FLAIR MR image.
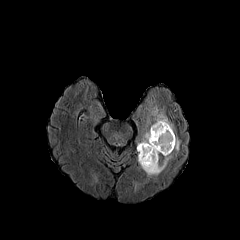
T1-weighted MR.
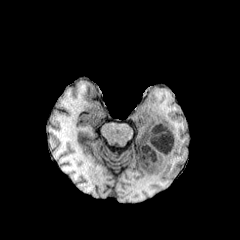
Post-contrast T1-weighted MR image.
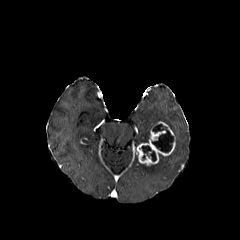
T2-weighted MR.
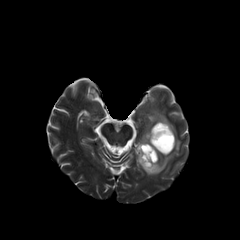
Brain | Axial slice
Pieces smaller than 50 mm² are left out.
{
  "enhancing_tumor": [
    "<box>137,121,175,165</box>"
  ],
  "necrotic_tumor_core": [
    "<box>139,145,156,161</box>",
    "<box>152,124,173,152</box>"
  ],
  "peritumoral_edema": [
    "<box>139,154,173,177</box>",
    "<box>175,137,180,152</box>",
    "<box>141,106,175,142</box>"
  ]
}